FLAIR magnetic resonance.
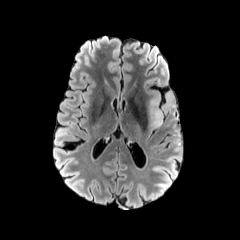
T1-weighted MRI.
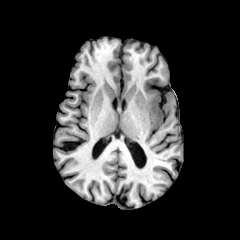
Post-contrast T1-weighted MR.
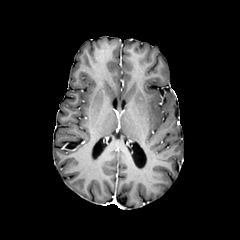
T2-weighted MRI.
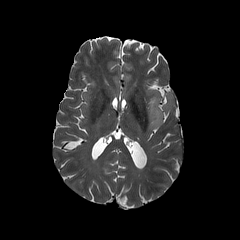
peritumoral edema = x1=149, y1=96, x2=162, y2=127; x1=164, y1=93, x2=171, y2=108